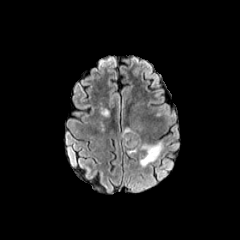
FLAIR magnetic resonance.
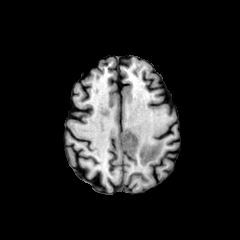
Same slice, T1-weighted MR.
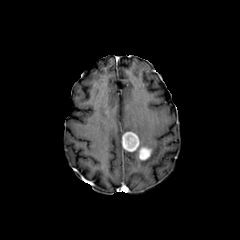
Post-contrast T1-weighted MRI.
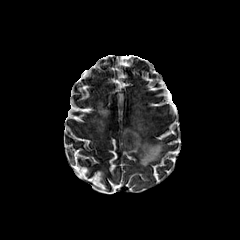
T2-weighted magnetic resonance.
240x240 px; Brain
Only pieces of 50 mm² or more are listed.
The largest peritumoral edema region is located at x1=127, y1=138, x2=163, y2=166. 2 enhancing tumor regions are located at x1=139, y1=147, x2=151, y2=160; x1=122, y1=132, x2=139, y2=151.